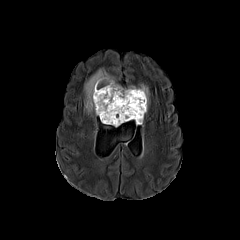
FLAIR MR image.
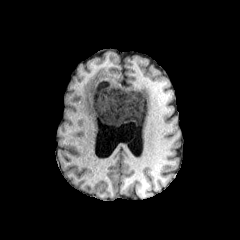
Same slice, T1-weighted magnetic resonance.
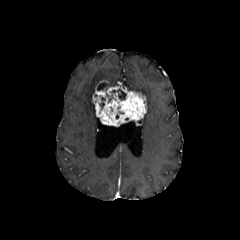
Post-contrast T1-weighted MR of the same slice.
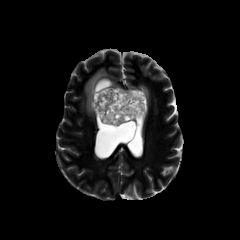
Same slice, T2-weighted MRI.
Axial slice | Image size 240x240
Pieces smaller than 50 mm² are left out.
peritumoral edema = x1=84, y1=68, x2=119, y2=114; x1=128, y1=84, x2=148, y2=110
enhancing tumor = x1=92, y1=80, x2=146, y2=126
necrotic tumor core = x1=118, y1=89, x2=126, y2=99; x1=97, y1=82, x2=110, y2=90